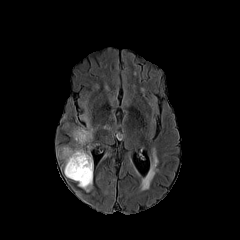
FLAIR MR.
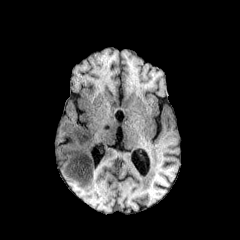
T1-weighted MRI of the same slice.
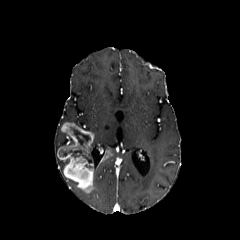
Same slice, post-contrast T1-weighted MR.
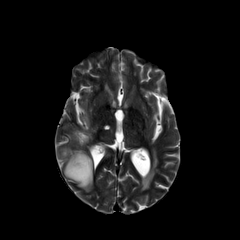
T2-weighted MR image of the same slice.
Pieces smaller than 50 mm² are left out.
The largest peritumoral edema region appears at 79, 114, 93, 132. The 2 largest enhancing tumor regions appear at 57, 122, 95, 193; 102, 150, 112, 161. The 2 largest necrotic tumor core regions are bounded by 59, 149, 92, 163; 71, 128, 90, 147.